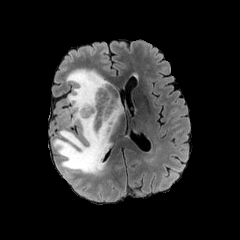
FLAIR MRI.
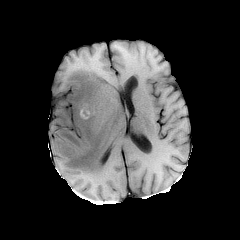
T1-weighted MRI.
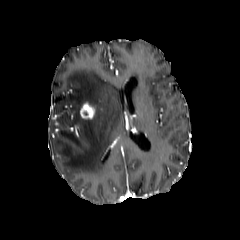
Post-contrast T1-weighted MRI.
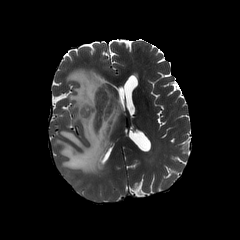
T2-weighted MR of the same slice.
Brain | Axial slice
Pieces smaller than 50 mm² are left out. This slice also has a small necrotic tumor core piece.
Annotated regions:
* peritumoral edema: 53,69,123,175
* enhancing tumor: 80,102,95,119